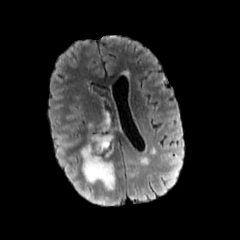
FLAIR MR image.
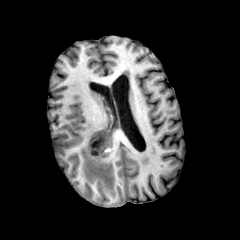
Same slice, T1-weighted MRI.
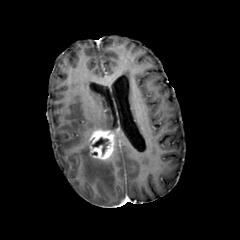
Post-contrast T1-weighted MR.
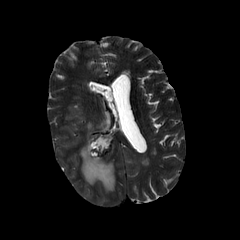
T2-weighted MR image.
Axial plane | Head
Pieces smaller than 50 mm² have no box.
peritumoral_edema:
  - (left=80, top=142, right=115, bottom=191)
  - (left=101, top=114, right=110, bottom=130)
enhancing_tumor:
  - (left=89, top=129, right=114, bottom=159)
necrotic_tumor_core:
  - (left=92, top=138, right=108, bottom=153)